FLAIR MR.
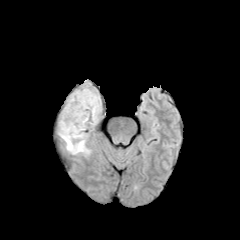
T1-weighted magnetic resonance.
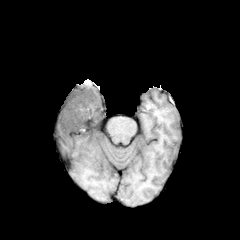
Post-contrast T1-weighted MRI.
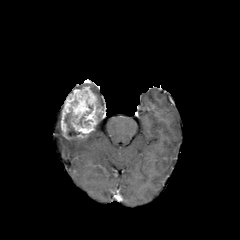
T2-weighted MR.
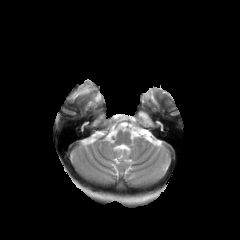
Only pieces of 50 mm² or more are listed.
The largest peritumoral edema region appears at region(62, 132, 92, 154). The largest necrotic tumor core region is bounded by region(65, 113, 73, 130). The enhancing tumor lies within region(61, 86, 102, 139).